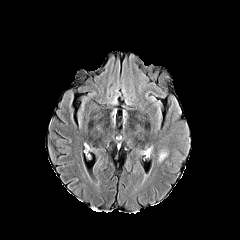
FLAIR MR.
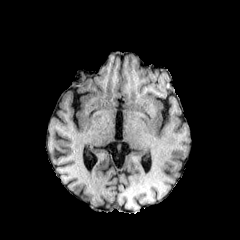
T1-weighted magnetic resonance.
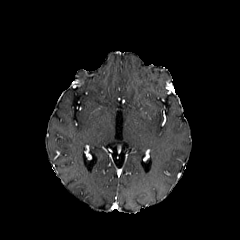
Post-contrast T1-weighted MR.
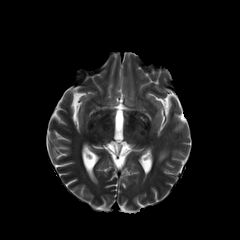
T2-weighted MR of the same slice.
Head. Axial plane.
peritumoral edema: <box>158,149,166,161</box>